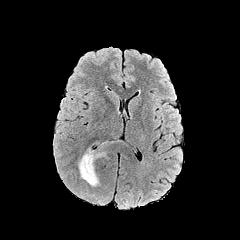
FLAIR MR image.
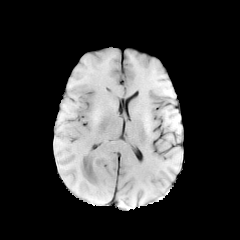
T1-weighted MR of the same slice.
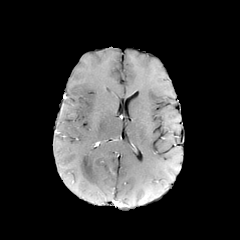
Same slice, post-contrast T1-weighted MR.
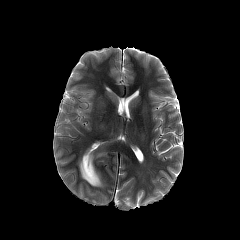
T2-weighted MRI.
Image size 240x240; Head; Axial view
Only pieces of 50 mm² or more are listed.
peritumoral edema — (78,147,106,186)